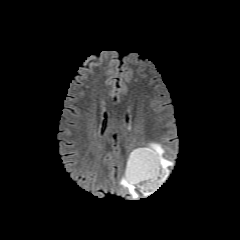
FLAIR MRI.
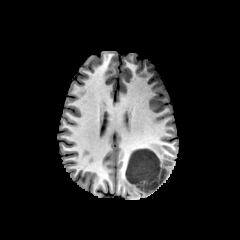
Same slice, T1-weighted MR.
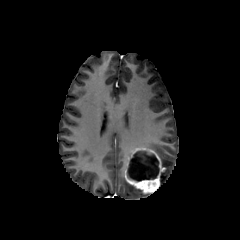
Post-contrast T1-weighted MR of the same slice.
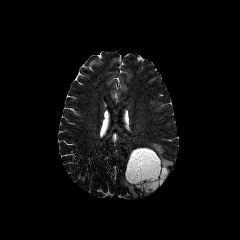
Same slice, T2-weighted MR.
Brain.
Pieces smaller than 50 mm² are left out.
<segmentation>
  <necrotic_tumor_core><box>127,151,159,181</box></necrotic_tumor_core>
  <enhancing_tumor><box>124,148,165,193</box></enhancing_tumor>
  <peritumoral_edema><box>139,143,173,184</box>, <box>120,176,138,198</box></peritumoral_edema>
</segmentation>